Slice 118/155 | Brain
FLAIR magnetic resonance.
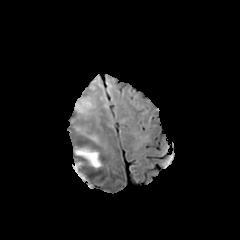
T1-weighted MR.
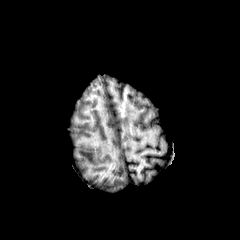
Post-contrast T1-weighted MR.
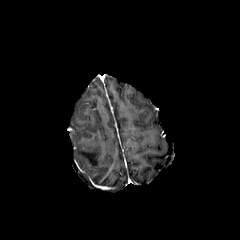
T2-weighted MR image.
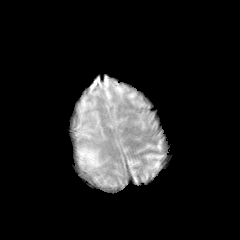
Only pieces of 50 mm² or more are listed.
• peritumoral edema: (x1=75, y1=147, x2=100, y2=167)